Axial plane, Brain
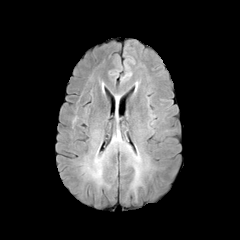
FLAIR MRI.
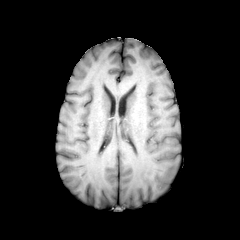
Same slice, T1-weighted magnetic resonance.
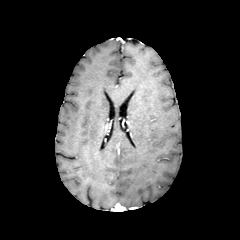
Same slice, post-contrast T1-weighted MRI.
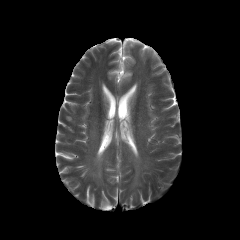
T2-weighted MRI.
3 peritumoral edema regions appear at (124, 144, 148, 191), (87, 155, 104, 182), (114, 133, 122, 143).